FLAIR MR image.
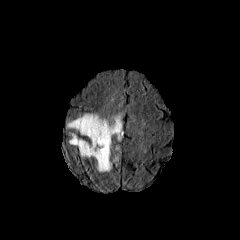
T1-weighted MR.
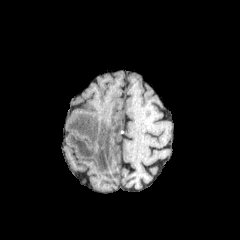
Post-contrast T1-weighted magnetic resonance.
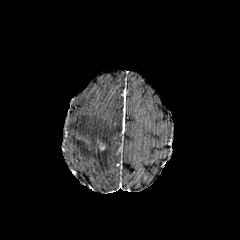
T2-weighted MR image.
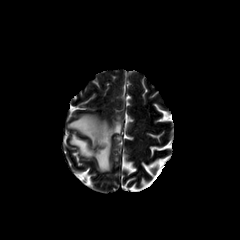
Axial slice
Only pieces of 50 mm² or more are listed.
- enhancing tumor: (97, 140, 105, 150)
- peritumoral edema: (66, 112, 122, 171), (112, 152, 120, 163)